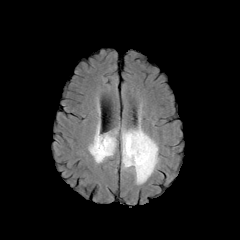
FLAIR magnetic resonance.
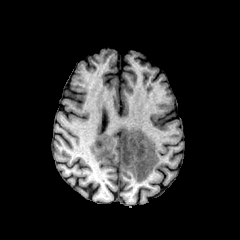
T1-weighted MR image.
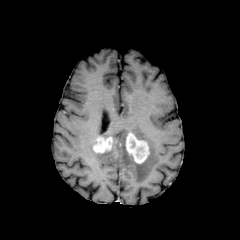
Post-contrast T1-weighted MRI.
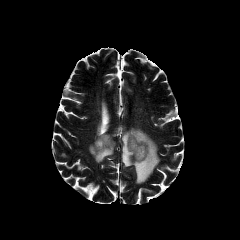
T2-weighted MR image.
Head. Image size 240x240.
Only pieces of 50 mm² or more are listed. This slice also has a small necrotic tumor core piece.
<segmentation>
  <peritumoral_edema>box=[88, 125, 117, 163]; box=[121, 126, 159, 184]</peritumoral_edema>
  <enhancing_tumor>box=[93, 136, 113, 153]; box=[125, 132, 149, 163]</enhancing_tumor>
</segmentation>